FLAIR MR image.
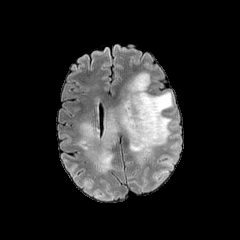
T1-weighted MR.
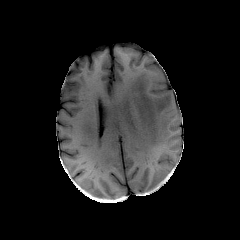
Post-contrast T1-weighted MR.
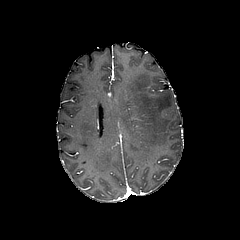
T2-weighted magnetic resonance.
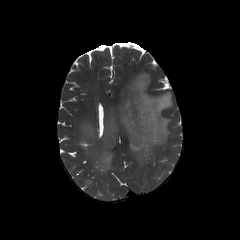
Axial plane. Brain. Image size 240x240.
- peritumoral edema: 78:72:172:173